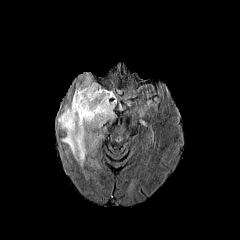
FLAIR magnetic resonance.
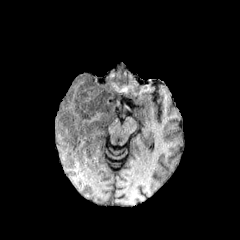
Same slice, T1-weighted MR.
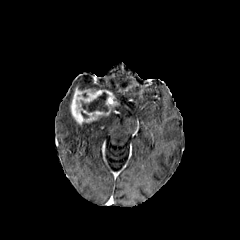
Post-contrast T1-weighted MR.
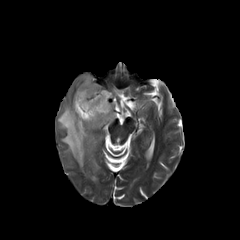
T2-weighted MR of the same slice.
Brain
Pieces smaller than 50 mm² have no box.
The largest necrotic tumor core region appears at (81,92,108,112). The enhancing tumor appears at (70,87,116,125). The 2 largest peritumoral edema regions are bounded by (57,102,115,167), (76,74,101,89).